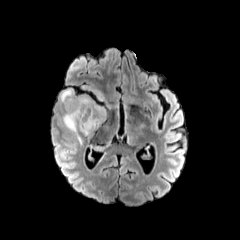
FLAIR magnetic resonance.
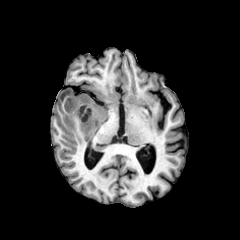
T1-weighted MR.
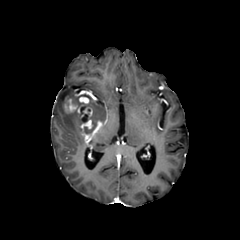
Post-contrast T1-weighted MRI.
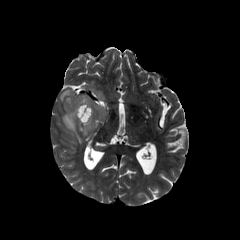
T2-weighted MR image.
240x240 px
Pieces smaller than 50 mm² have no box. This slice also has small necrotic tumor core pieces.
{
  "peritumoral_edema": [
    "60, 89, 79, 104",
    "63, 98, 106, 144",
    "92, 90, 104, 100"
  ],
  "enhancing_tumor": [
    "64, 96, 93, 131"
  ]
}